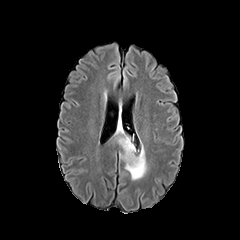
FLAIR magnetic resonance.
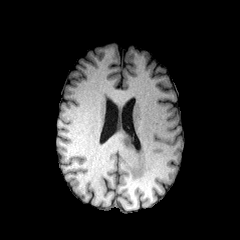
T1-weighted MR.
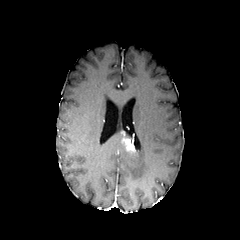
Post-contrast T1-weighted MR of the same slice.
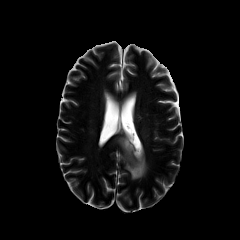
T2-weighted MRI.
Axial plane | Brain
2 peritumoral edema regions appear at (115,127,127,137), (117,137,146,179). The enhancing tumor appears at (121,137,135,153).